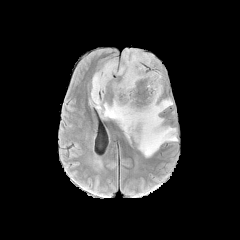
FLAIR MRI.
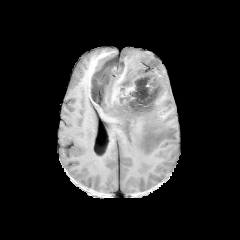
T1-weighted magnetic resonance.
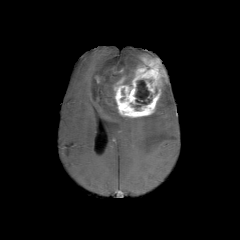
Post-contrast T1-weighted MRI.
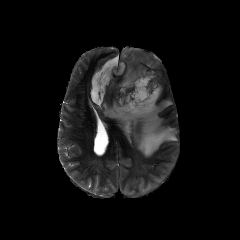
Same slice, T2-weighted MRI.
Head.
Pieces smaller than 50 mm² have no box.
necrotic tumor core — rect(135, 80, 151, 104)
peritumoral edema — rect(90, 48, 177, 157); rect(162, 65, 168, 92)
enhancing tumor — rect(95, 75, 102, 83); rect(113, 55, 166, 117)